Head
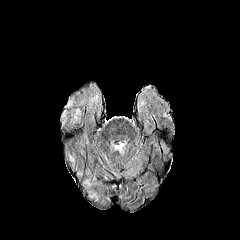
FLAIR MR.
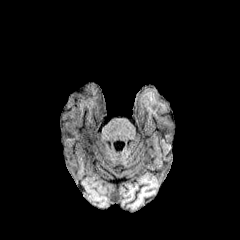
T1-weighted MR.
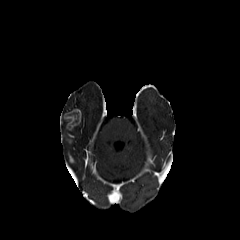
Post-contrast T1-weighted MR of the same slice.
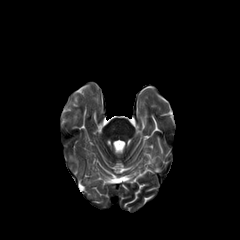
T2-weighted MR image of the same slice.
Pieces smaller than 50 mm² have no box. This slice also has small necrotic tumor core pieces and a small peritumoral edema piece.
enhancing tumor: bounding box [x1=64, y1=109, x2=81, y2=130]